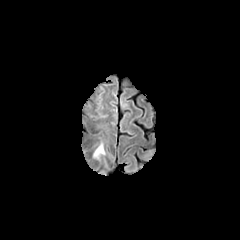
FLAIR MR.
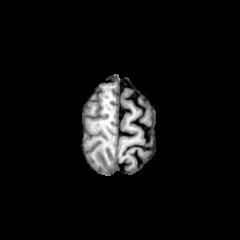
Same slice, T1-weighted MRI.
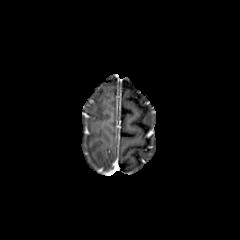
Post-contrast T1-weighted MR.
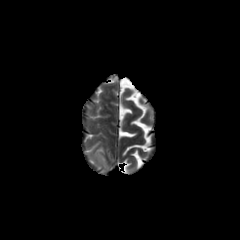
T2-weighted MR.
Head | Image size 240x240
peritumoral edema — [95, 146, 104, 155]